Head. Image width 240 mm, 1.00 mm slice spacing. Axial slice.
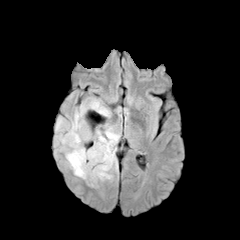
FLAIR MR.
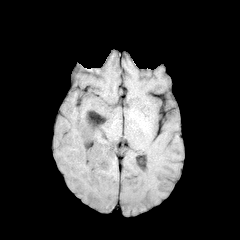
Same slice, T1-weighted MRI.
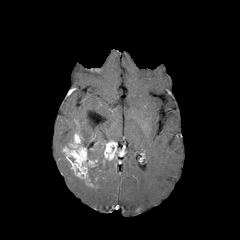
Post-contrast T1-weighted MR.
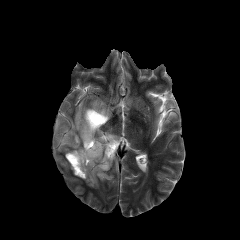
T2-weighted MR.
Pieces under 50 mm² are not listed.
Annotated regions:
* peritumoral edema: [55, 98, 120, 181]
* enhancing tumor: [100, 140, 117, 166], [62, 132, 98, 186]
* necrotic tumor core: [88, 167, 96, 185]